Head; Axial plane
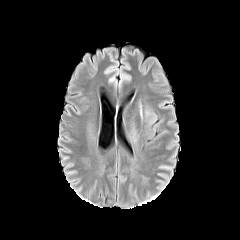
FLAIR MR.
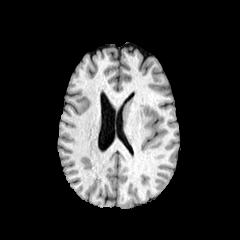
T1-weighted MR of the same slice.
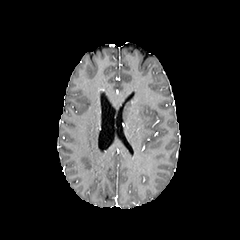
Same slice, post-contrast T1-weighted MRI.
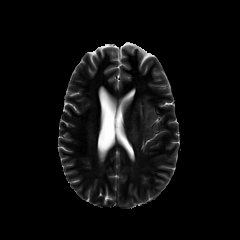
T2-weighted MRI.
2 peritumoral edema regions are bounded by (left=130, top=123, right=137, bottom=142), (left=146, top=107, right=156, bottom=124).